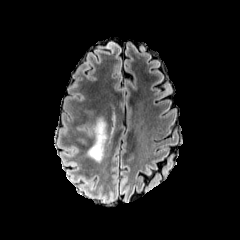
FLAIR MR.
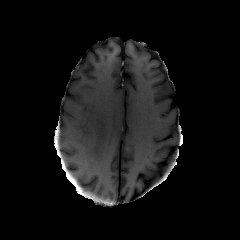
T1-weighted MR.
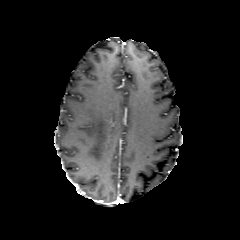
Post-contrast T1-weighted MRI of the same slice.
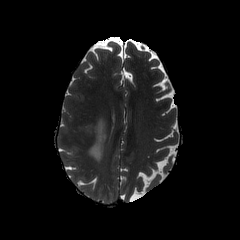
T2-weighted MR.
Head
The peritumoral edema is located at 87,118,106,162.